FLAIR MR.
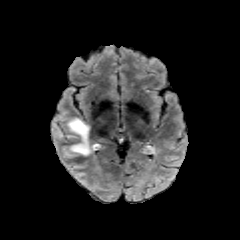
T1-weighted MRI.
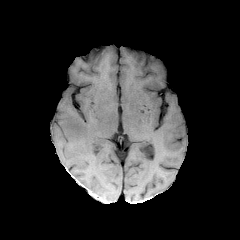
Post-contrast T1-weighted MR image.
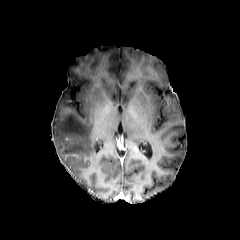
T2-weighted magnetic resonance.
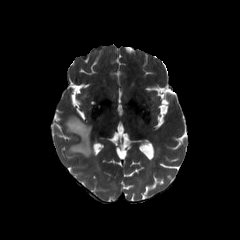
Axial plane | Brain
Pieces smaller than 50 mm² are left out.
The largest peritumoral edema region appears at x1=63, y1=118, x2=94, y2=156.